FLAIR MR.
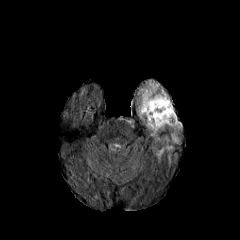
T1-weighted magnetic resonance.
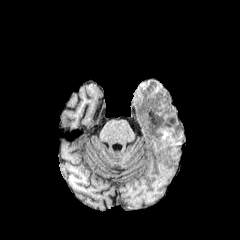
Post-contrast T1-weighted MR image.
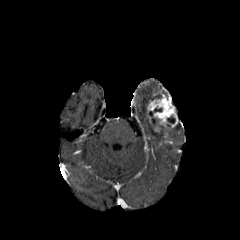
T2-weighted MR image.
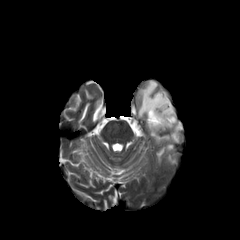
Axial view. 240x240 px. Brain.
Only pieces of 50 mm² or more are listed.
The enhancing tumor lies within left=147, top=95, right=178, bottom=131. The 2 largest necrotic tumor core regions appear at left=149, top=106, right=162, bottom=126; left=167, top=115, right=175, bottom=123. The 4 largest peritumoral edema regions appear at left=171, top=123, right=181, bottom=142; left=146, top=118, right=159, bottom=141; left=156, top=145, right=173, bottom=160; left=138, top=80, right=161, bottom=117.